Brain. 240x240. Image width 240 mm, 1.00 mm slice spacing. Slice index 84.
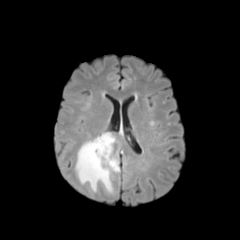
FLAIR MR.
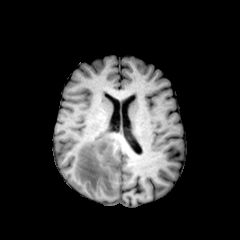
T1-weighted MRI.
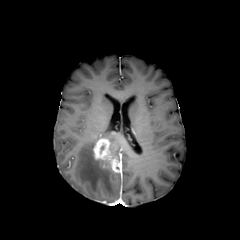
Post-contrast T1-weighted magnetic resonance.
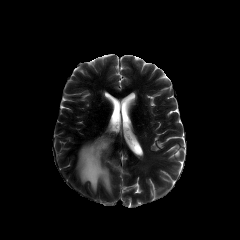
T2-weighted MR image of the same slice.
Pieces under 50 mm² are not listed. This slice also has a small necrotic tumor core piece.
enhancing_tumor:
  - [x1=93, y1=138, x2=120, y2=172]
peritumoral_edema:
  - [x1=75, y1=133, x2=118, y2=193]